Axial view
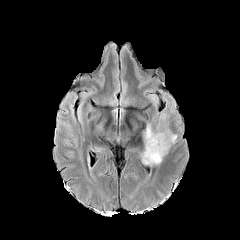
FLAIR MRI.
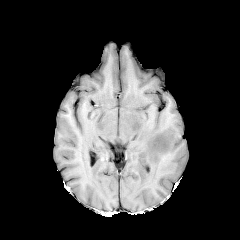
T1-weighted MRI of the same slice.
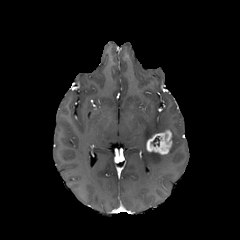
Post-contrast T1-weighted MR.
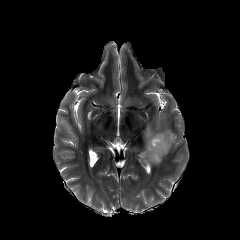
T2-weighted MR of the same slice.
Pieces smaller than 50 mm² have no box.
peritumoral edema: [142,123,168,165] | enhancing tumor: [146,130,172,154] | necrotic tumor core: [151,136,159,146]